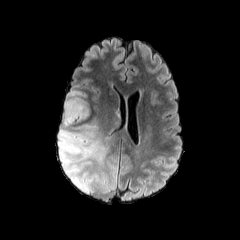
FLAIR MRI.
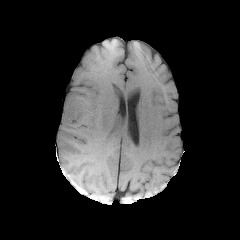
Same slice, T1-weighted MRI.
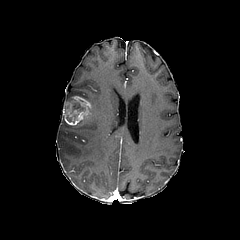
Post-contrast T1-weighted MR image of the same slice.
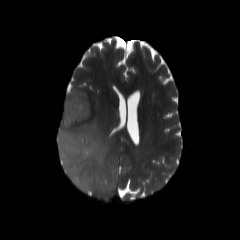
T2-weighted MRI.
Brain
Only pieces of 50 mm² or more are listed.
The 2 largest peritumoral edema regions are located at x1=58, y1=110, x2=116, y2=194; x1=64, y1=91, x2=89, y2=110. The enhancing tumor lies within x1=63, y1=96, x2=90, y2=125. The largest necrotic tumor core region is at x1=73, y1=102, x2=85, y2=111.